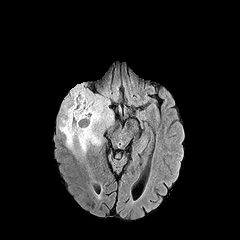
FLAIR MR image.
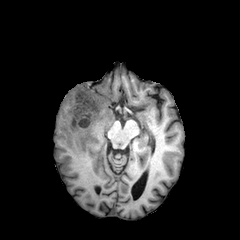
T1-weighted magnetic resonance.
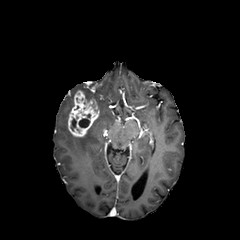
Post-contrast T1-weighted magnetic resonance.
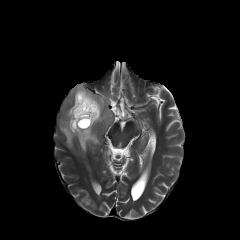
T2-weighted magnetic resonance.
240x240. Axial slice. Brain.
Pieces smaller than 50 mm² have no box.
peritumoral edema = 59 83 113 155
enhancing tumor = 68 90 99 137
necrotic tumor core = 79 119 89 127